FLAIR MRI.
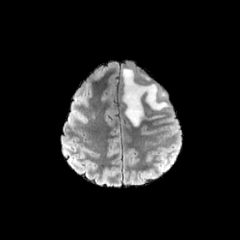
T1-weighted MR image.
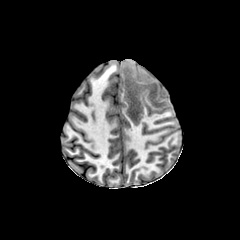
Post-contrast T1-weighted MR.
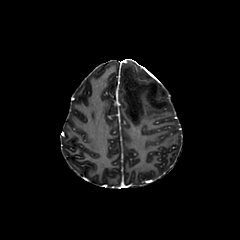
T2-weighted MR.
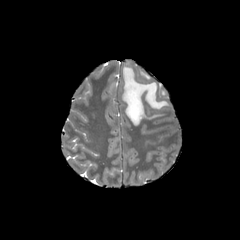
Axial slice
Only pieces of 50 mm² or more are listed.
peritumoral edema: bbox=[122, 67, 168, 125]